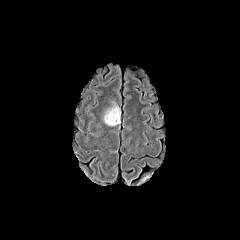
FLAIR MR image.
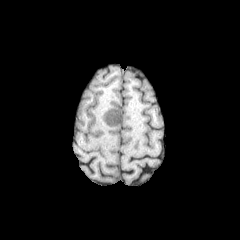
T1-weighted magnetic resonance.
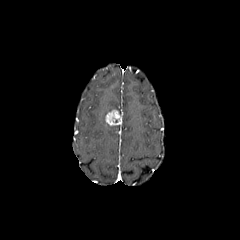
Post-contrast T1-weighted magnetic resonance.
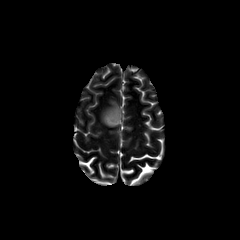
T2-weighted magnetic resonance.
Axial slice | Head
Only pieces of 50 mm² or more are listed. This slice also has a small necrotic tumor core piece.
Annotated regions:
• peritumoral edema: 103,102,120,121
• enhancing tumor: 105,109,121,125